FLAIR magnetic resonance.
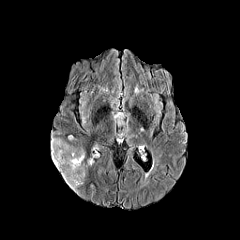
T1-weighted MRI.
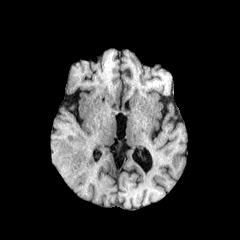
Post-contrast T1-weighted magnetic resonance.
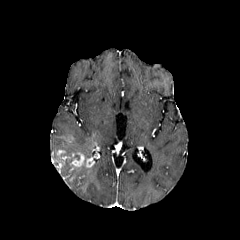
T2-weighted magnetic resonance.
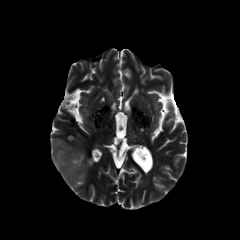
Axial plane. Head. 240x240 px.
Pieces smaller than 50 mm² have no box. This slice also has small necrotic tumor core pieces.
Findings:
- peritumoral edema: x1=57 y1=158 x2=87 y2=192, x1=51 y1=137 x2=84 y2=166
- enhancing tumor: x1=54 y1=150 x2=94 y2=170